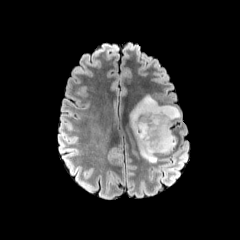
FLAIR MR image.
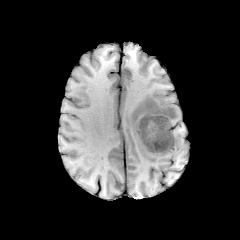
T1-weighted MR.
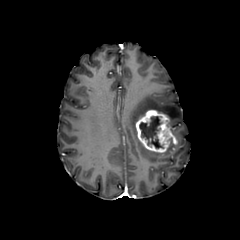
Same slice, post-contrast T1-weighted MR image.
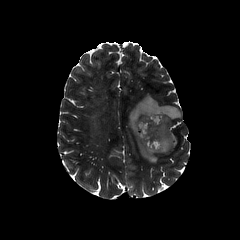
T2-weighted MR image of the same slice.
240x240 | Brain
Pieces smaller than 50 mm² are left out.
Annotated regions:
* peritumoral edema: <box>129,94,180,162</box>
* enhancing tumor: <box>135,109,177,152</box>
* necrotic tumor core: <box>139,115,163,148</box>